FLAIR magnetic resonance.
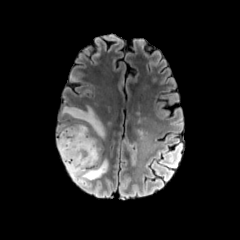
T1-weighted MRI.
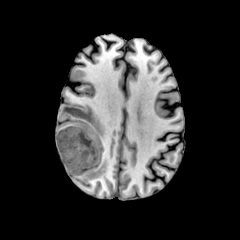
Post-contrast T1-weighted MRI.
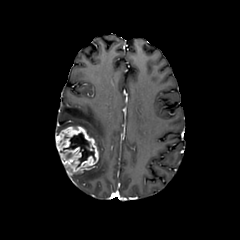
T2-weighted MR image.
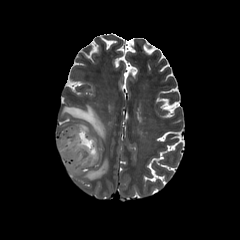
Brain | Axial slice
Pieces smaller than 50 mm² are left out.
The peritumoral edema lies within bbox=[56, 105, 108, 183]. The enhancing tumor is located at bbox=[56, 126, 98, 175]. The largest necrotic tumor core region appears at bbox=[63, 133, 95, 166].